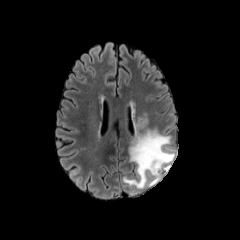
FLAIR MR.
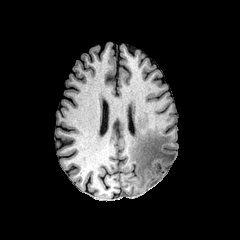
T1-weighted magnetic resonance.
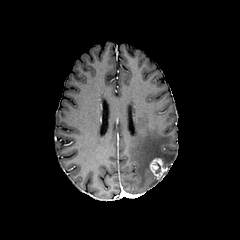
Same slice, post-contrast T1-weighted MR.
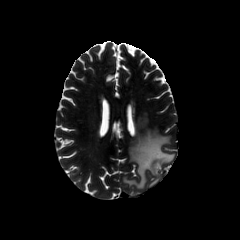
T2-weighted MR of the same slice.
240x240; Head
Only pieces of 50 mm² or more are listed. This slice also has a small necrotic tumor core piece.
enhancing tumor at {"x1": 149, "y1": 158, "x2": 168, "y2": 179}
peritumoral edema at {"x1": 123, "y1": 118, "x2": 175, "y2": 189}